Image size 240x240 | Brain | Slice 88/155 | Axial view
FLAIR MR.
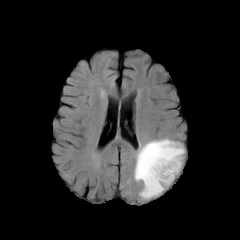
T1-weighted MR image.
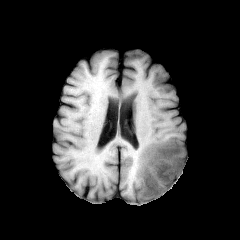
Post-contrast T1-weighted MR image.
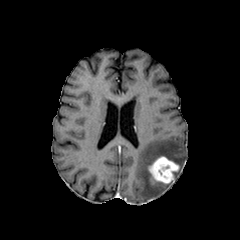
T2-weighted magnetic resonance.
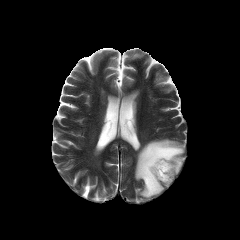
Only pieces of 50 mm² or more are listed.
peritumoral edema at [134,138,184,199]
enhancing tumor at [148,156,179,184]